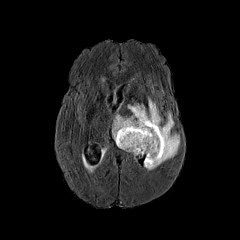
FLAIR MR image.
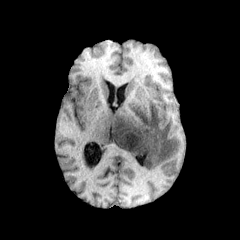
T1-weighted MR.
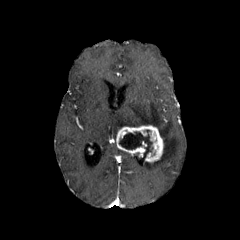
Post-contrast T1-weighted magnetic resonance of the same slice.
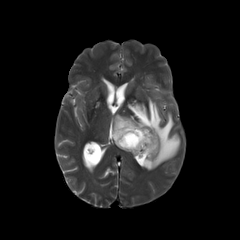
T2-weighted MR.
Axial view
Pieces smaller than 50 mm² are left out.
{"necrotic_tumor_core": ["x1=119, y1=132, x2=152, y2=152"], "peritumoral_edema": ["x1=112, y1=98, x2=179, y2=170"], "enhancing_tumor": ["x1=116, y1=125, x2=163, y2=163"]}